Axial plane | Image width 240 mm, 1.00 mm slice spacing | Slice 98 of 155 | 240x240 px
FLAIR magnetic resonance.
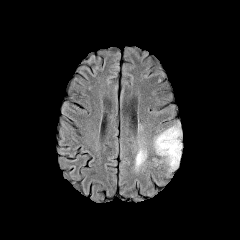
T1-weighted MRI.
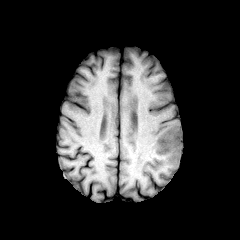
Post-contrast T1-weighted magnetic resonance.
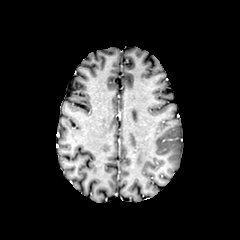
T2-weighted MR.
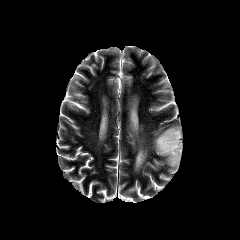
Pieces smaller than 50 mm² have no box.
peritumoral edema — l=152, t=125, r=182, b=171; l=130, t=147, r=146, b=175